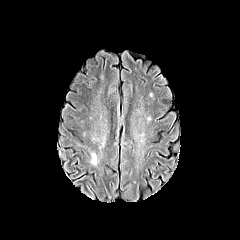
FLAIR MR.
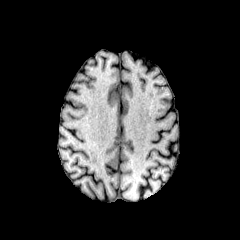
T1-weighted MR image of the same slice.
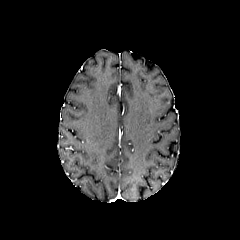
Post-contrast T1-weighted magnetic resonance.
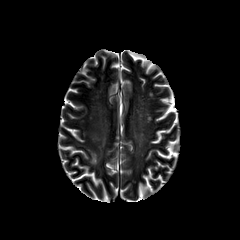
T2-weighted MR image.
Head | 240x240 px
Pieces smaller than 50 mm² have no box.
{"peritumoral_edema": ["left=90, top=152, right=98, bottom=165"]}